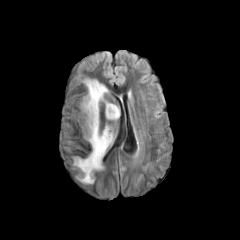
FLAIR magnetic resonance.
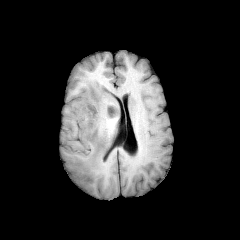
T1-weighted magnetic resonance.
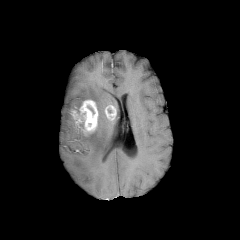
Post-contrast T1-weighted MRI of the same slice.
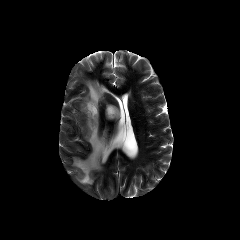
T2-weighted MR.
Head
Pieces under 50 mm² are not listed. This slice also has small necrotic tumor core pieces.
Annotated regions:
• peritumoral edema: <bbox>84, 80, 107, 111</bbox>, <bbox>73, 116, 112, 183</bbox>, <bbox>106, 102, 119, 119</bbox>
• enhancing tumor: <bbox>105, 105, 116, 119</bbox>, <bbox>80, 100, 98, 132</bbox>